FLAIR magnetic resonance.
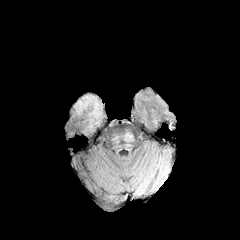
T1-weighted MR image.
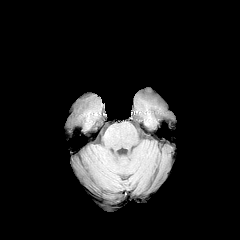
Post-contrast T1-weighted magnetic resonance.
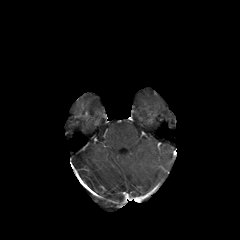
T2-weighted MR.
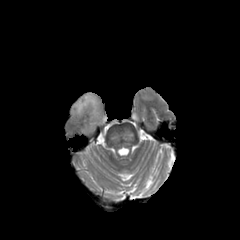
240x240
peritumoral_edema:
  - left=76, top=95, right=98, bottom=114